FLAIR magnetic resonance.
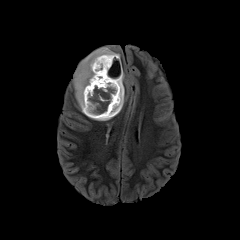
T1-weighted MR image.
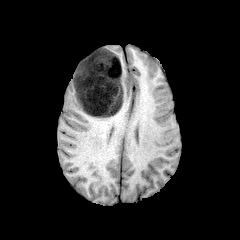
Post-contrast T1-weighted MR.
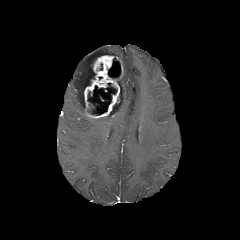
T2-weighted MR.
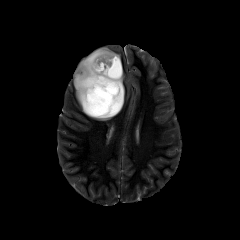
240x240
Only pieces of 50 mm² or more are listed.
Findings:
* necrotic tumor core: l=108, t=57, r=121, b=78; l=109, t=87, r=120, b=115; l=87, t=83, r=117, b=115
* enhancing tumor: l=84, t=55, r=123, b=118
* peritumoral edema: l=115, t=73, r=126, b=115; l=73, t=47, r=120, b=114; l=90, t=116, r=113, b=121